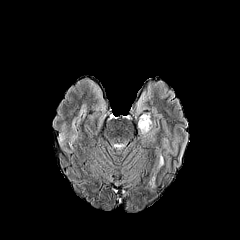
FLAIR MR.
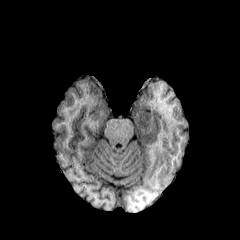
Same slice, T1-weighted MRI.
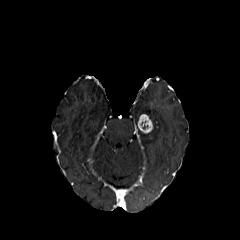
Post-contrast T1-weighted MR of the same slice.
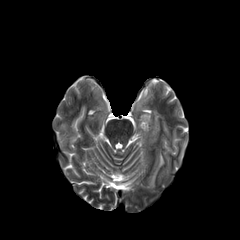
T2-weighted magnetic resonance.
Brain
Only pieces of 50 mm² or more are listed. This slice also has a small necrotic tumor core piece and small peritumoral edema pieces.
{"enhancing_tumor": ["(left=138, top=114, right=152, bottom=133)"]}